FLAIR magnetic resonance.
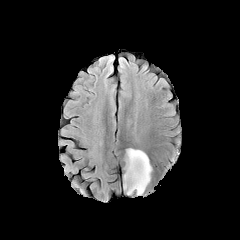
T1-weighted magnetic resonance.
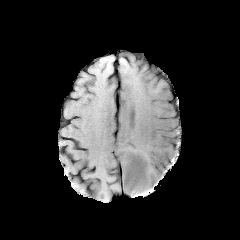
Post-contrast T1-weighted MRI.
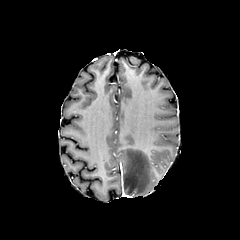
T2-weighted MR image.
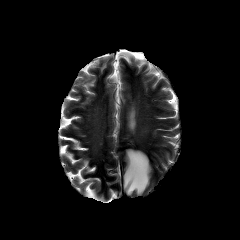
Image size 240x240
peritumoral_edema:
  - 123,148,151,195